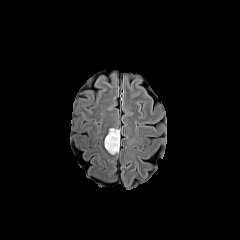
FLAIR magnetic resonance.
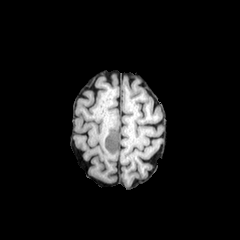
T1-weighted MR.
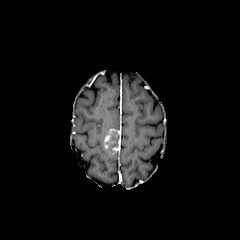
Same slice, post-contrast T1-weighted MR.
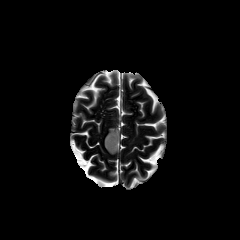
T2-weighted MR image.
240x240. Axial view. Brain.
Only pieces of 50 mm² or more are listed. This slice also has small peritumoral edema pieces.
The largest enhancing tumor region is at {"x1": 108, "y1": 129, "x2": 120, "y2": 153}. The necrotic tumor core is located at {"x1": 105, "y1": 131, "x2": 119, "y2": 151}.